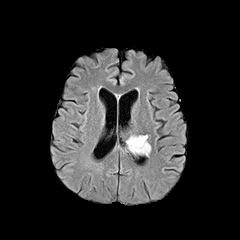
FLAIR MR.
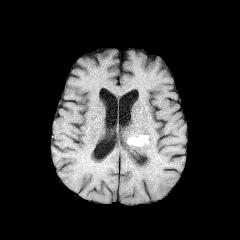
Same slice, T1-weighted MR image.
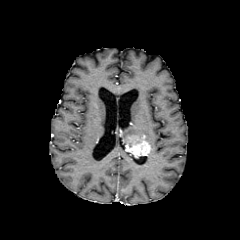
Post-contrast T1-weighted MR image.
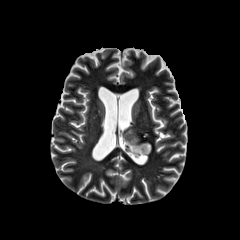
T2-weighted MRI.
Head.
<segmentation>
  <enhancing_tumor>126:142:150:155</enhancing_tumor>
</segmentation>